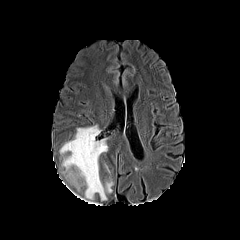
FLAIR MR image.
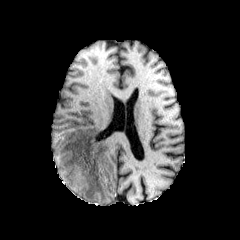
T1-weighted magnetic resonance of the same slice.
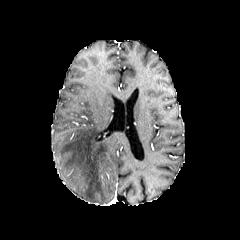
Post-contrast T1-weighted MR image.
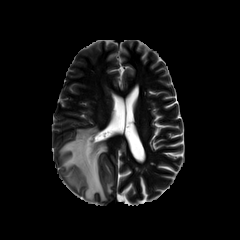
T2-weighted magnetic resonance.
Brain. 240x240.
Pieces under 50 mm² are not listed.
<segmentation>
  <peritumoral_edema><box>60,125,112,200</box></peritumoral_edema>
</segmentation>